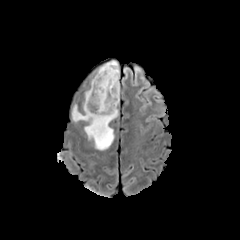
FLAIR MR.
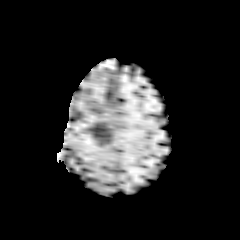
Same slice, T1-weighted magnetic resonance.
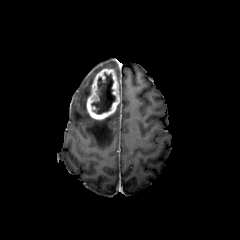
Same slice, post-contrast T1-weighted MR.
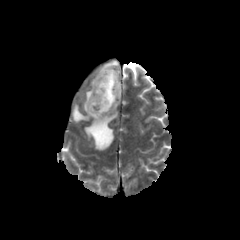
T2-weighted MR of the same slice.
Image size 240x240. Brain.
enhancing tumor at {"x1": 86, "y1": 68, "x2": 120, "y2": 120}
peritumoral edema at {"x1": 83, "y1": 90, "x2": 90, "y2": 111}, {"x1": 98, "y1": 60, "x2": 119, "y2": 79}, {"x1": 85, "y1": 109, "x2": 117, "y2": 150}, {"x1": 72, "y1": 106, "x2": 90, "y2": 121}
necrotic tumor core at {"x1": 91, "y1": 73, "x2": 115, "y2": 114}